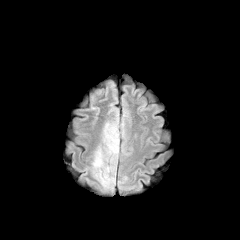
FLAIR magnetic resonance.
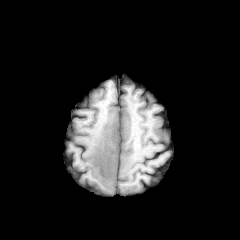
T1-weighted MRI.
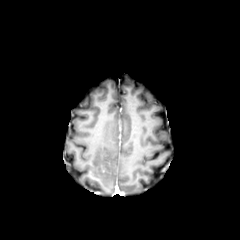
Post-contrast T1-weighted MR image.
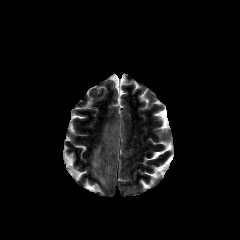
T2-weighted MR image.
Axial slice, Brain, 240x240
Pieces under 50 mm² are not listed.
The largest peritumoral edema region is at <bbox>92, 120, 119, 187</bbox>.